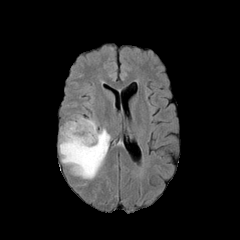
FLAIR magnetic resonance.
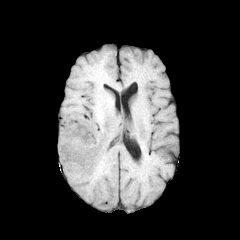
Same slice, T1-weighted MR image.
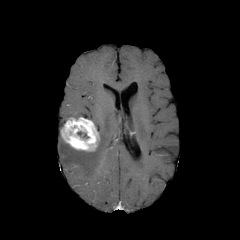
Post-contrast T1-weighted MR.
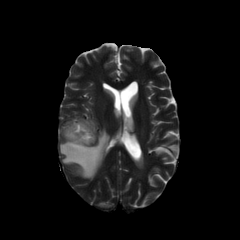
T2-weighted magnetic resonance.
Axial view
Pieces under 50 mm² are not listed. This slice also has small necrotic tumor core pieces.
peritumoral edema at [x1=59, y1=128, x2=110, y2=179]
enhancing tumor at [x1=61, y1=117, x2=99, y2=151]